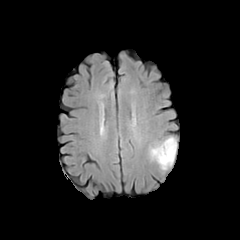
FLAIR MR.
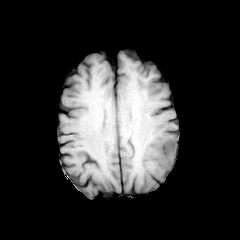
T1-weighted magnetic resonance of the same slice.
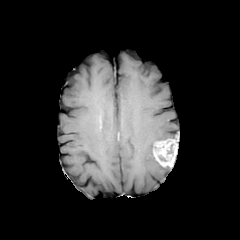
Same slice, post-contrast T1-weighted MR image.
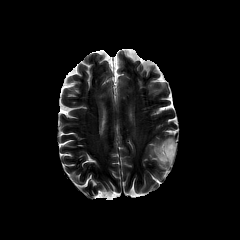
Same slice, T2-weighted MR.
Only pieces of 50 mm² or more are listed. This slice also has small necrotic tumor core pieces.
{"peritumoral_edema": ["149:141:159:160"], "enhancing_tumor": ["153:139:177:167"]}